Slice 90/155; Image width 240 mm
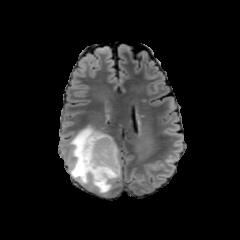
FLAIR MR.
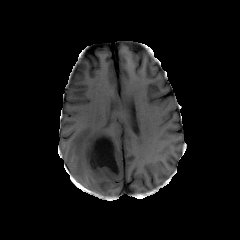
Same slice, T1-weighted MRI.
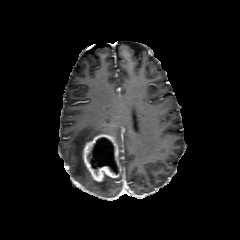
Post-contrast T1-weighted MR image.
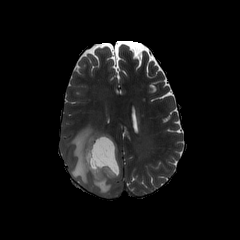
T2-weighted MRI.
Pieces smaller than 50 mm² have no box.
The enhancing tumor is located at box(83, 134, 121, 182). The largest necrotic tumor core region appears at box(91, 137, 117, 172). The largest peritumoral edema region lies within box(67, 126, 121, 193).